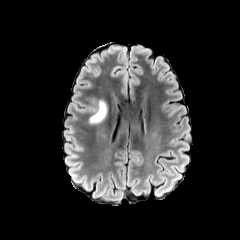
FLAIR MRI.
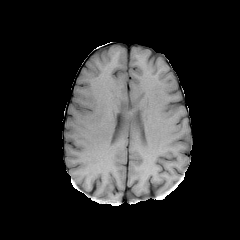
Same slice, T1-weighted MR image.
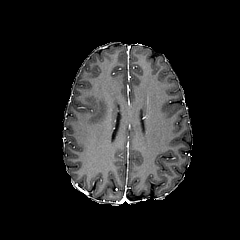
Same slice, post-contrast T1-weighted MR.
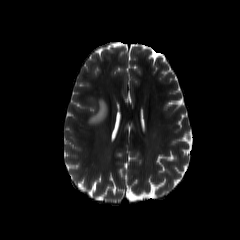
T2-weighted MR image.
Axial view; Brain
<segmentation>
  <peritumoral_edema>(89,100,107,123)</peritumoral_edema>
</segmentation>